Axial slice; 240x240 px; Image width 240 mm, 1.00 mm slice spacing
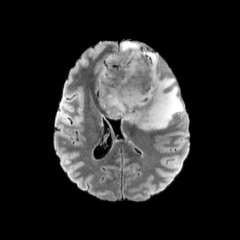
FLAIR MRI.
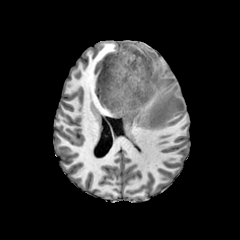
Same slice, T1-weighted MR image.
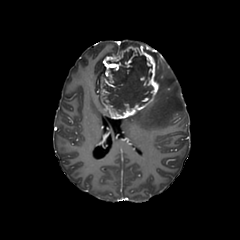
Post-contrast T1-weighted MRI of the same slice.
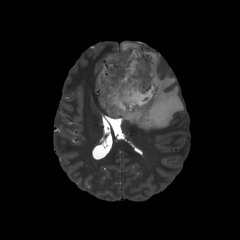
T2-weighted MR.
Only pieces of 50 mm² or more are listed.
<segmentation>
  <necrotic_tumor_core>rect(103, 49, 153, 114)</necrotic_tumor_core>
  <enhancing_tumor>rect(100, 46, 158, 118)</enhancing_tumor>
  <peritumoral_edema>rect(120, 41, 139, 50); rect(98, 65, 104, 89); rect(123, 51, 184, 130)</peritumoral_edema>
</segmentation>